FLAIR MR image.
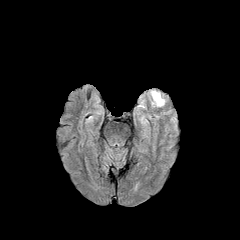
T1-weighted MR image.
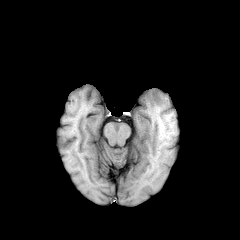
Post-contrast T1-weighted MR image.
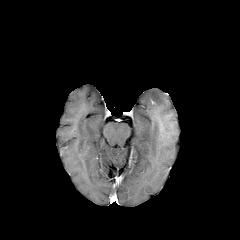
T2-weighted MR.
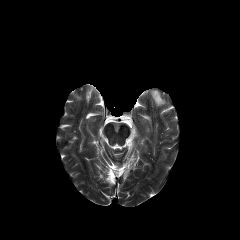
The peritumoral edema is at box=[150, 90, 164, 106].